Image covers 240 mm x 240 mm; Brain
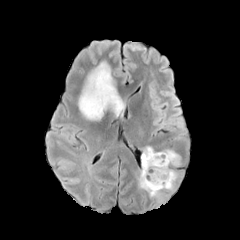
FLAIR MRI.
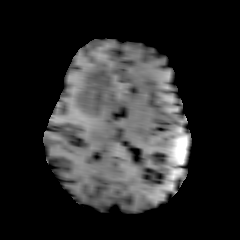
T1-weighted MR.
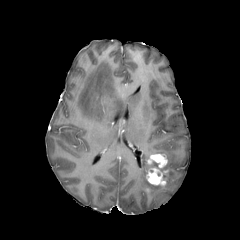
Same slice, post-contrast T1-weighted MRI.
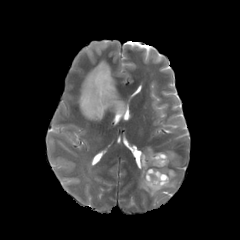
T2-weighted MR.
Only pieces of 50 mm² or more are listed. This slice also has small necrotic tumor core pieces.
Findings:
* peritumoral edema: 140,146,182,198; 78,62,123,120
* enhancing tumor: 146,153,168,185